240x240, Image covers 240 mm x 240 mm, Axial view
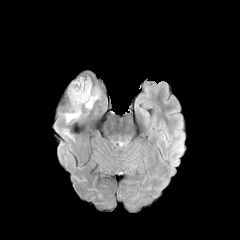
FLAIR MR.
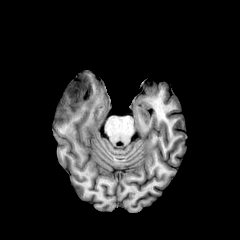
T1-weighted MRI of the same slice.
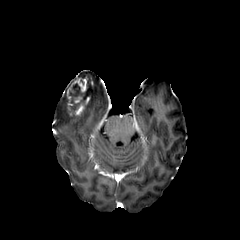
Post-contrast T1-weighted MR image.
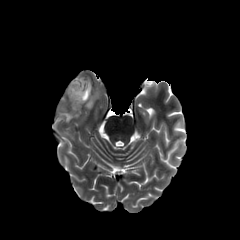
T2-weighted MR image of the same slice.
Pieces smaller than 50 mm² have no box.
The necrotic tumor core lies within 69,81,93,110. 2 enhancing tumor regions are bounded by 67,78,92,115; 74,95,82,103. The 2 largest peritumoral edema regions are located at 86,92,97,108; 64,113,78,122.